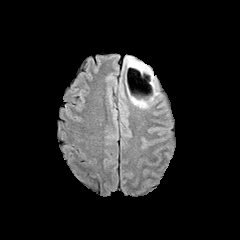
FLAIR magnetic resonance.
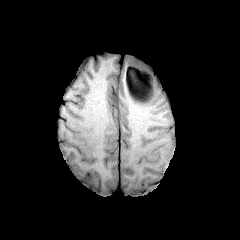
Same slice, T1-weighted magnetic resonance.
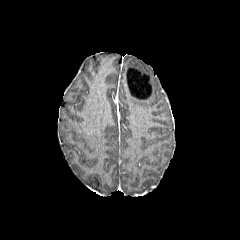
Post-contrast T1-weighted MRI of the same slice.
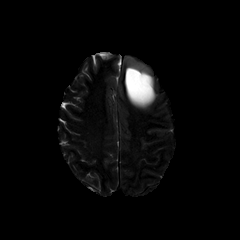
Same slice, T2-weighted MR.
Brain
peritumoral edema — <bbox>126, 57, 158, 108</bbox>
enhancing tumor — <bbox>125, 82, 153, 102</bbox>
necrotic tumor core — <bbox>126, 67, 152, 99</bbox>